Slice index 133. Brain. Axial view.
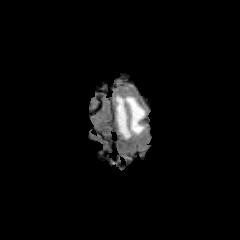
FLAIR MRI.
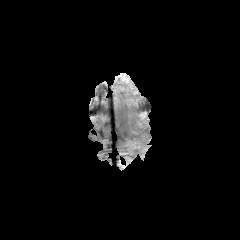
T1-weighted MR image.
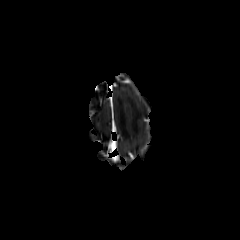
Post-contrast T1-weighted MR image.
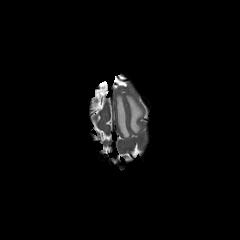
Same slice, T2-weighted MRI.
Findings:
• peritumoral edema: rect(116, 95, 144, 138)